Axial slice; Brain; Image width 240 mm
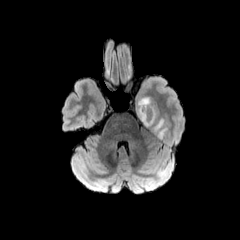
FLAIR MR image.
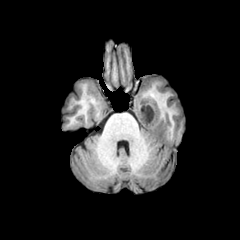
T1-weighted MRI.
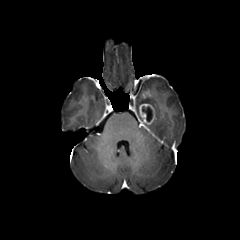
Same slice, post-contrast T1-weighted MR.
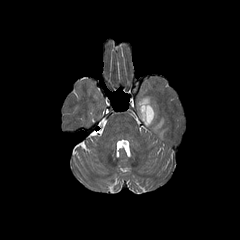
Same slice, T2-weighted magnetic resonance.
<segmentation>
  <necrotic_tumor_core>(x1=142, y1=106, x2=152, y2=121)</necrotic_tumor_core>
  <peritumoral_edema>(x1=136, y1=95, x2=167, y2=139)</peritumoral_edema>
  <enhancing_tumor>(x1=139, y1=103, x2=155, y2=126)</enhancing_tumor>
</segmentation>